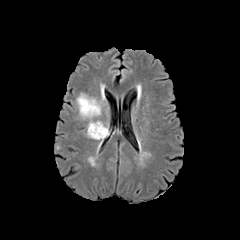
FLAIR MR.
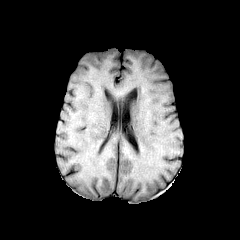
T1-weighted MRI.
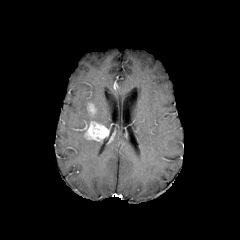
Post-contrast T1-weighted MR image of the same slice.
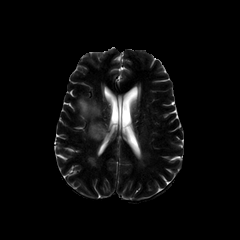
T2-weighted magnetic resonance.
240x240 px. Brain.
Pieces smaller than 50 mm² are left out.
peritumoral edema: 77, 94, 101, 122 | enhancing tumor: 87, 103, 95, 113; 85, 121, 109, 140